Image width 240 mm | Axial view | 240x240 px | Slice 118 of 155 | Brain
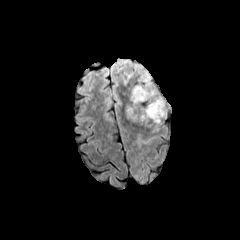
FLAIR MR image.
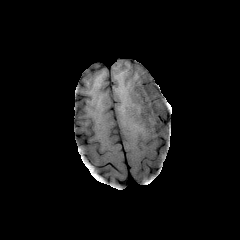
T1-weighted magnetic resonance of the same slice.
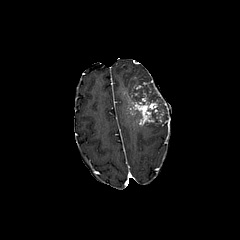
Post-contrast T1-weighted MRI of the same slice.
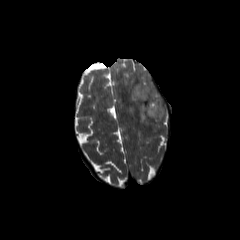
T2-weighted magnetic resonance of the same slice.
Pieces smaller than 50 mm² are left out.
peritumoral edema at 121,72,134,85; 130,72,151,95
enhancing tumor at 136,81,150,89; 124,93,159,125
necrotic tumor core at 132,84,163,124